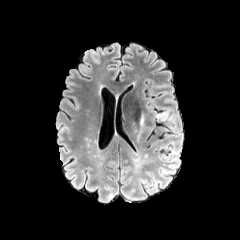
FLAIR MR.
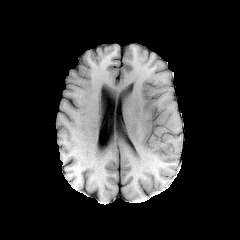
T1-weighted MR.
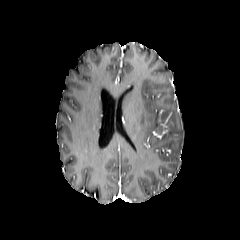
Post-contrast T1-weighted MRI of the same slice.
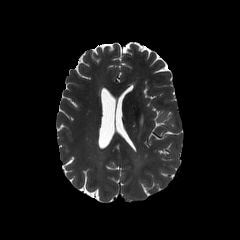
T2-weighted MR image of the same slice.
Axial view. Head.
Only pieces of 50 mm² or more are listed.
The largest peritumoral edema region is at [x1=157, y1=113, x2=167, y2=119].